Axial plane | Image covers 240 mm x 240 mm | Head | Slice 96/155
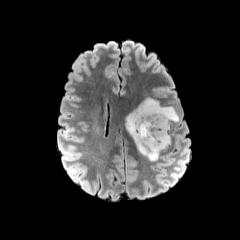
FLAIR magnetic resonance.
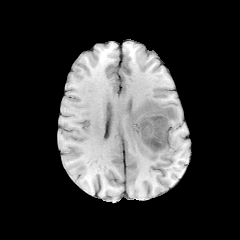
T1-weighted MR image.
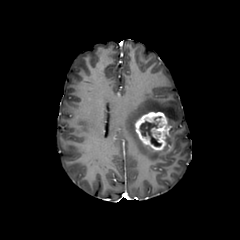
Post-contrast T1-weighted MR of the same slice.
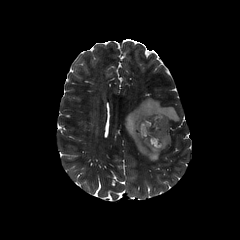
Same slice, T2-weighted MR image.
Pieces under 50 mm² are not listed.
peritumoral edema: bounding box region(124, 97, 179, 160)
enhancing tumor: bounding box region(135, 111, 170, 150)
necrotic tumor core: bounding box region(139, 121, 161, 146)